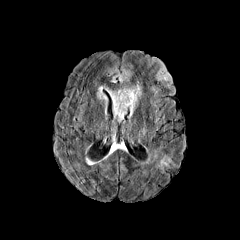
FLAIR MR image.
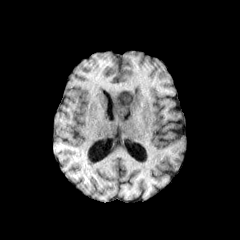
T1-weighted magnetic resonance.
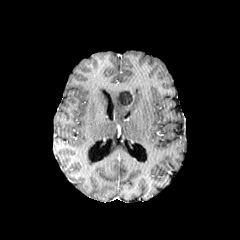
Post-contrast T1-weighted MR image.
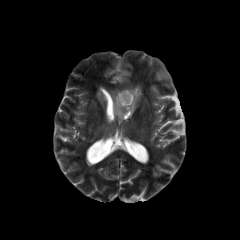
T2-weighted magnetic resonance of the same slice.
Brain
enhancing tumor: rect(113, 88, 134, 108) | necrotic tumor core: rect(116, 91, 132, 105) | peritumoral edema: rect(110, 67, 131, 82); rect(97, 86, 116, 101); rect(112, 100, 127, 122); rect(127, 85, 141, 119)